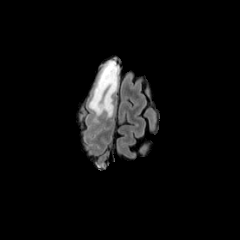
FLAIR MR image.
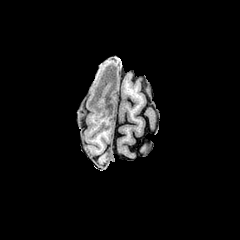
Same slice, T1-weighted MR.
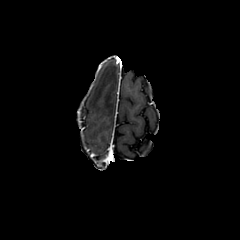
Post-contrast T1-weighted MR image.
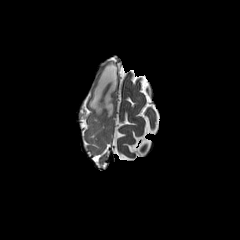
T2-weighted MR image of the same slice.
Brain.
The peritumoral edema is located at x1=89 y1=60 x2=119 y2=122.